Head.
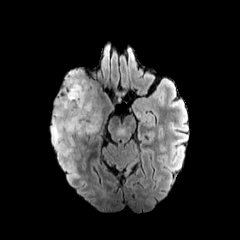
FLAIR MR.
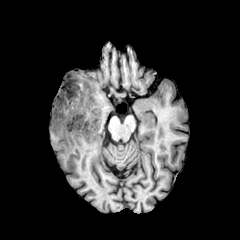
T1-weighted MRI.
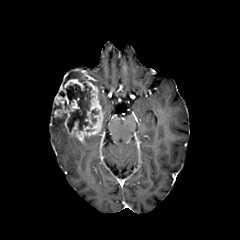
Same slice, post-contrast T1-weighted magnetic resonance.
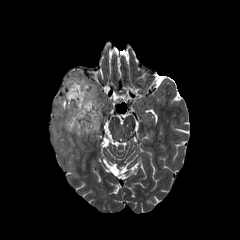
T2-weighted MRI.
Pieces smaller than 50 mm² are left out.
enhancing tumor: [54, 76, 102, 142]
peritumoral edema: [51, 114, 72, 155], [65, 71, 80, 82]
necrotic tumor core: [59, 83, 91, 131], [91, 109, 97, 122]